Image size 240x240.
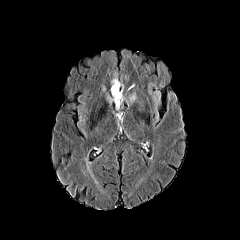
FLAIR magnetic resonance.
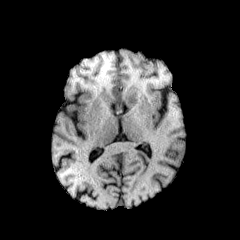
Same slice, T1-weighted MRI.
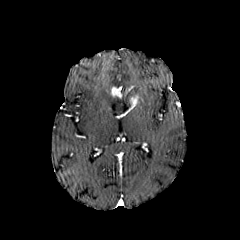
Post-contrast T1-weighted MR of the same slice.
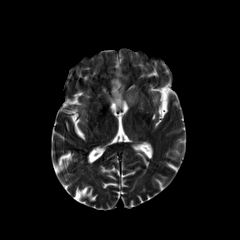
T2-weighted magnetic resonance.
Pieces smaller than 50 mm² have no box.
The 2 largest peritumoral edema regions appear at {"x1": 107, "y1": 95, "x2": 124, "y2": 109}, {"x1": 111, "y1": 76, "x2": 120, "y2": 87}. 2 enhancing tumor regions appear at {"x1": 129, "y1": 94, "x2": 138, "y2": 106}, {"x1": 111, "y1": 87, "x2": 122, "y2": 98}.